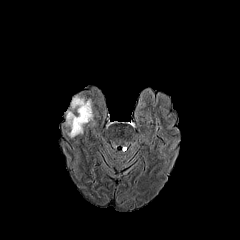
FLAIR MRI.
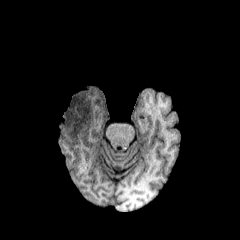
Same slice, T1-weighted MR.
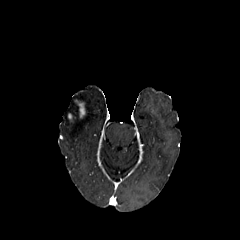
Post-contrast T1-weighted MR of the same slice.
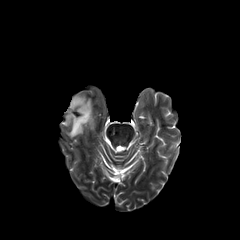
T2-weighted MRI.
240x240 px.
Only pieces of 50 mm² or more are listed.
The peritumoral edema is at x1=66 y1=95 x2=94 y2=138. The largest enhancing tumor region lies within x1=75 y1=99 x2=85 y2=118.